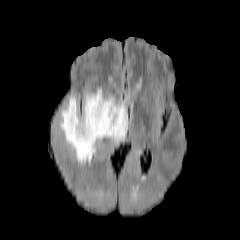
FLAIR magnetic resonance.
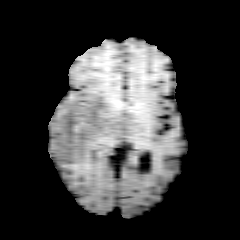
T1-weighted magnetic resonance.
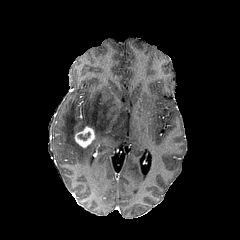
Post-contrast T1-weighted MRI.
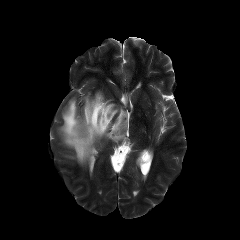
Same slice, T2-weighted MR image.
Axial view, 240x240 px
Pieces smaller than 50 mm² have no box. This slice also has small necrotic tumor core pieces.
peritumoral_edema:
  - (x1=60, y1=89, x2=128, y2=164)
enhancing_tumor:
  - (x1=74, y1=126, x2=95, y2=147)